Slice 138 of 155; Head; Image size 240x240
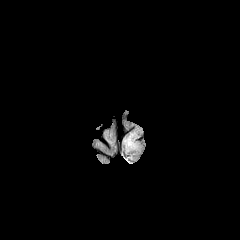
FLAIR MRI.
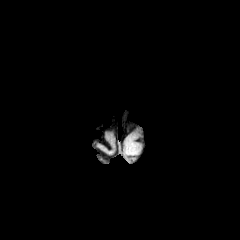
T1-weighted MR of the same slice.
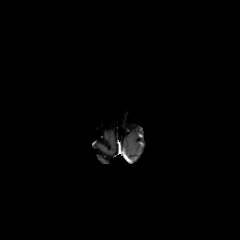
Post-contrast T1-weighted magnetic resonance of the same slice.
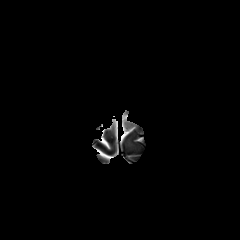
Same slice, T2-weighted MR.
The peritumoral edema appears at box=[124, 132, 137, 153].